FLAIR MRI.
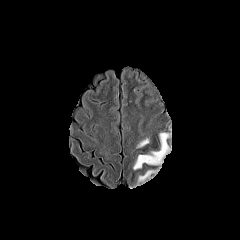
T1-weighted magnetic resonance.
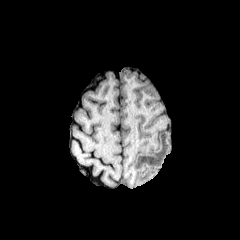
Post-contrast T1-weighted magnetic resonance.
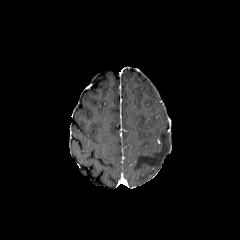
T2-weighted MR image.
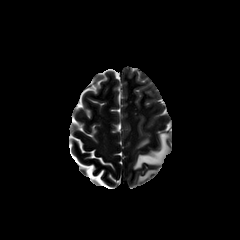
3 peritumoral edema regions are bounded by (left=137, top=138, right=148, bottom=147), (left=138, top=170, right=156, bottom=182), (left=133, top=133, right=169, bottom=169).